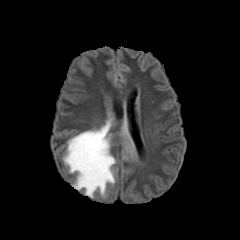
FLAIR MR image.
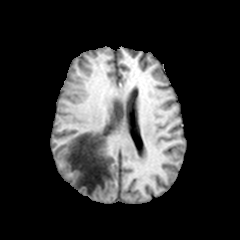
Same slice, T1-weighted magnetic resonance.
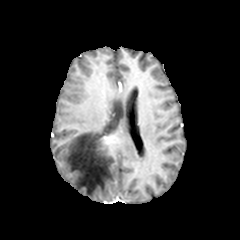
Post-contrast T1-weighted magnetic resonance of the same slice.
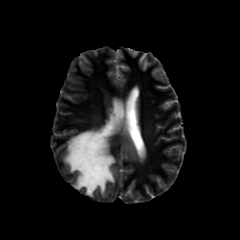
T2-weighted MR.
peritumoral edema at (left=63, top=118, right=116, bottom=197), (left=120, top=129, right=135, bottom=159)
enhancing tumor at (left=101, top=136, right=110, bottom=144)